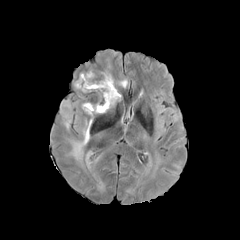
FLAIR MR image.
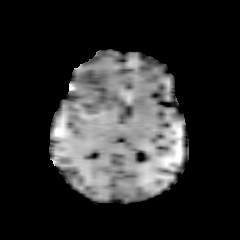
T1-weighted MR image.
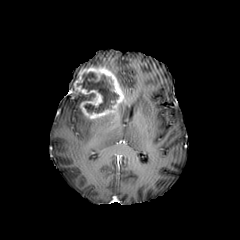
Post-contrast T1-weighted MR.
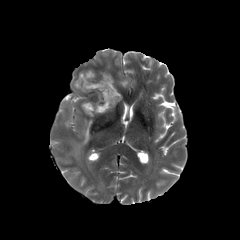
Same slice, T2-weighted MR.
Head; Axial view; 240x240
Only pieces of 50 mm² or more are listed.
enhancing tumor = <box>70,66,124,119</box>
peritumoral edema = <box>60,101,79,129</box>, <box>71,118,92,159</box>, <box>121,79,128,87</box>
necrotic tumor core = <box>79,93,94,100</box>, <box>77,73,118,112</box>